Image size 240x240, Axial view
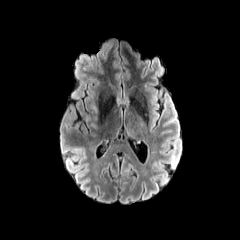
FLAIR MR image.
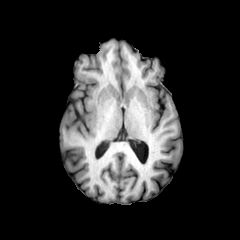
T1-weighted MR image of the same slice.
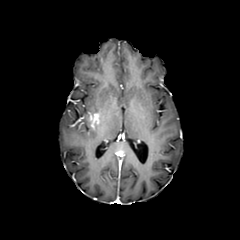
Post-contrast T1-weighted MR image of the same slice.
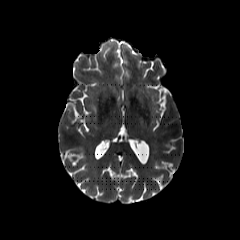
T2-weighted MR image.
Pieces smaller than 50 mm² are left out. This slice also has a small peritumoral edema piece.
The enhancing tumor is at (88, 113, 98, 127).